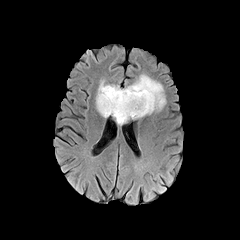
FLAIR MR image.
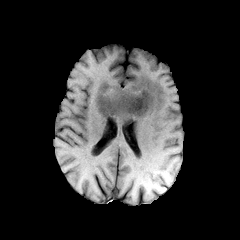
T1-weighted MRI of the same slice.
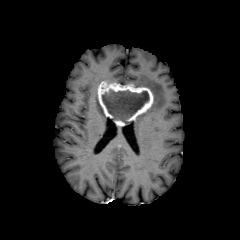
Same slice, post-contrast T1-weighted MR.
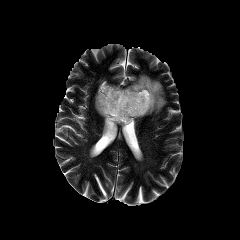
T2-weighted MR.
240x240 px
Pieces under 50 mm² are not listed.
• enhancing tumor: left=97, top=81, right=153, bottom=125
• necrotic tumor core: left=102, top=89, right=148, bottom=122
• peritumoral edema: left=133, top=74, right=166, bottom=118; left=95, top=94, right=107, bottom=117